FLAIR magnetic resonance.
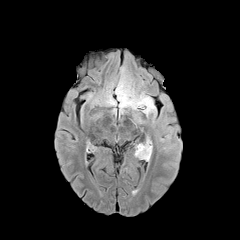
T1-weighted MR.
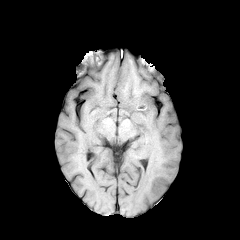
Post-contrast T1-weighted MR image.
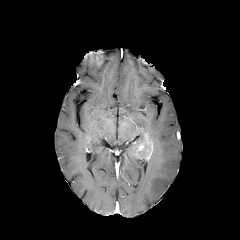
T2-weighted MR image.
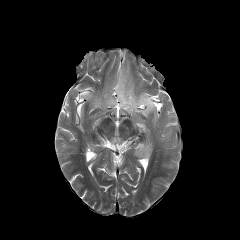
Axial slice, Brain
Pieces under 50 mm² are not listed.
{
  "peritumoral_edema": [
    "bbox=[119, 82, 156, 124]",
    "bbox=[134, 143, 149, 161]"
  ],
  "enhancing_tumor": [
    "bbox=[136, 140, 152, 159]"
  ]
}